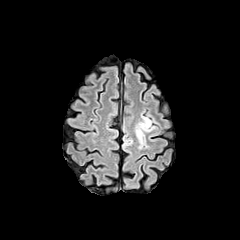
FLAIR MR image.
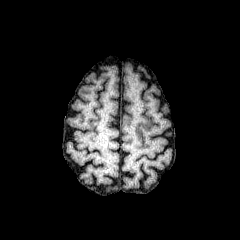
T1-weighted magnetic resonance.
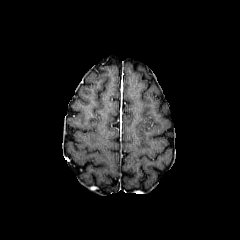
Post-contrast T1-weighted magnetic resonance.
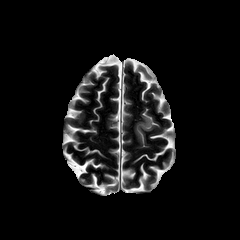
T2-weighted MR.
Brain, 240x240
The peritumoral edema is located at left=135, top=115, right=155, bottom=147.